240x240 px, Axial plane, Brain
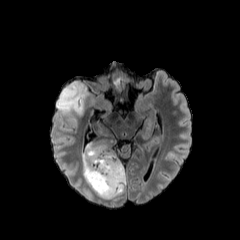
FLAIR MR image.
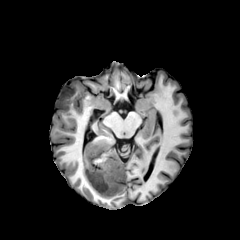
T1-weighted MRI.
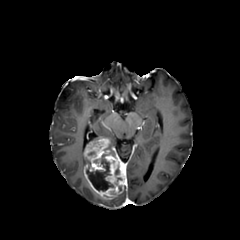
Same slice, post-contrast T1-weighted MR image.
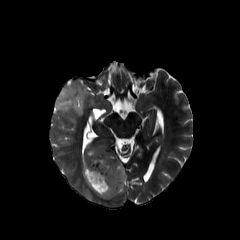
T2-weighted magnetic resonance of the same slice.
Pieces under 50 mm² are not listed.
The 3 largest peritumoral edema regions are bounded by (left=56, top=81, right=88, bottom=115), (left=82, top=154, right=87, bottom=176), (left=84, top=185, right=102, bottom=200). The largest necrotic tumor core region appears at (left=86, top=153, right=113, bottom=191). The enhancing tumor appears at (left=83, top=139, right=126, bottom=199).